Brain | Slice 78 of 155 | Axial slice
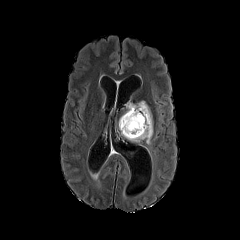
FLAIR MR image.
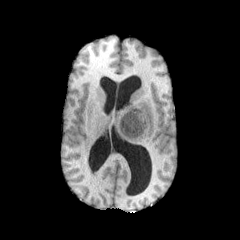
T1-weighted MR.
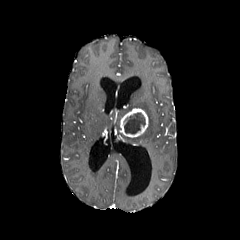
Same slice, post-contrast T1-weighted MRI.
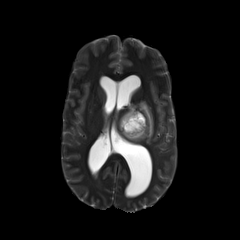
Same slice, T2-weighted MR.
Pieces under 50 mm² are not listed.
peritumoral edema — (124,101,153,144)
necrotic tumor core — (123,113,145,134)
enhancing tumor — (120,108,148,137)